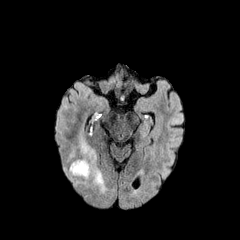
FLAIR MR image.
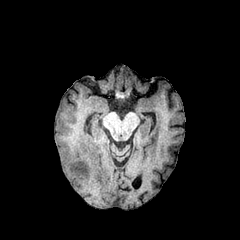
T1-weighted MR of the same slice.
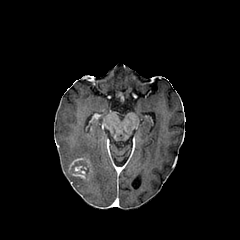
Same slice, post-contrast T1-weighted MR.
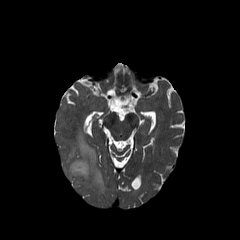
T2-weighted MRI.
Brain.
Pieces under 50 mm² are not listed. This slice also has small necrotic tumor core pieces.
peritumoral edema: left=64, top=136, right=106, bottom=193 | enhancing tumor: left=69, top=158, right=91, bottom=178